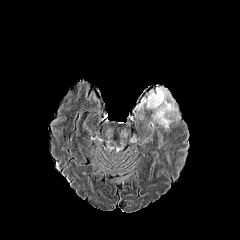
FLAIR MR image.
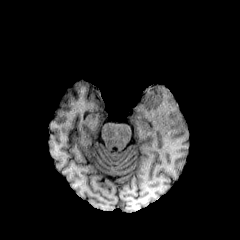
T1-weighted MR image.
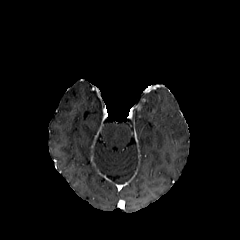
Same slice, post-contrast T1-weighted MRI.
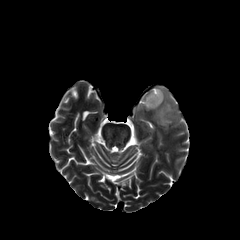
T2-weighted MR image.
Image size 240x240. Axial view.
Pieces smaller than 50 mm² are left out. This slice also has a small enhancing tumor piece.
Findings:
• peritumoral edema: 145:88:176:129